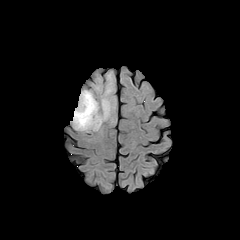
FLAIR magnetic resonance.
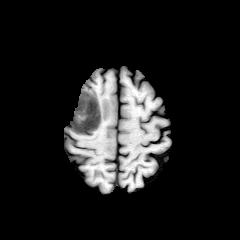
T1-weighted magnetic resonance.
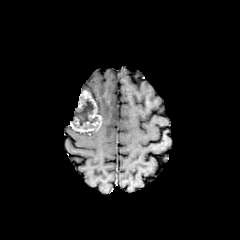
Same slice, post-contrast T1-weighted MRI.
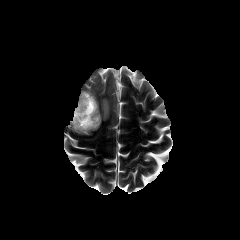
T2-weighted magnetic resonance.
240x240 px
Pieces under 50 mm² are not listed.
Findings:
• enhancing tumor: (left=70, top=90, right=101, bottom=132)
• necrotic tumor core: (left=73, top=99, right=97, bottom=125)
• peritumoral edema: (left=86, top=82, right=115, bottom=123)